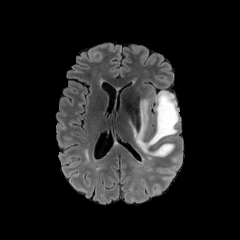
FLAIR MR image.
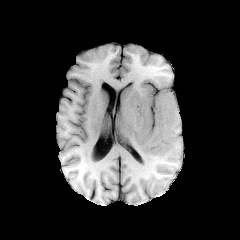
T1-weighted MR image.
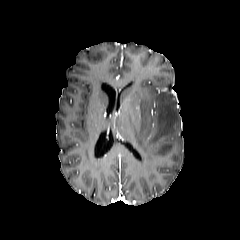
Post-contrast T1-weighted MR image.
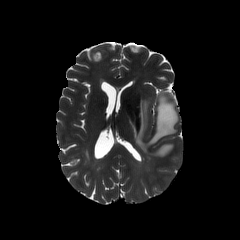
T2-weighted magnetic resonance of the same slice.
Annotated regions:
• peritumoral edema: x1=131 y1=90 x2=179 y2=156